Slice 57 of 155. Axial slice.
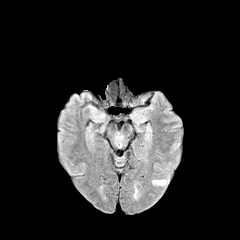
FLAIR MR.
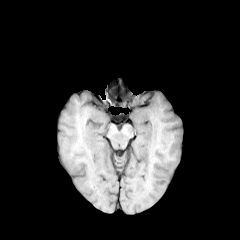
T1-weighted magnetic resonance.
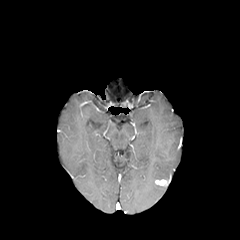
Same slice, post-contrast T1-weighted MRI.
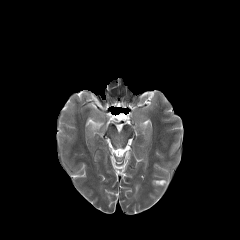
T2-weighted MR image.
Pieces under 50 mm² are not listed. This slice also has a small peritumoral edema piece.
enhancing_tumor:
  - {"x1": 152, "y1": 179, "x2": 167, "y2": 186}